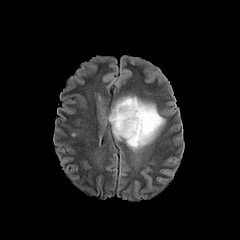
FLAIR MRI.
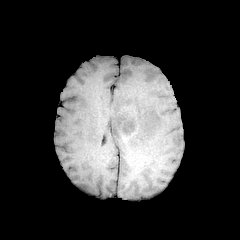
Same slice, T1-weighted MRI.
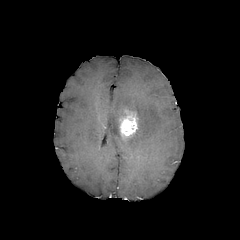
Post-contrast T1-weighted MR.
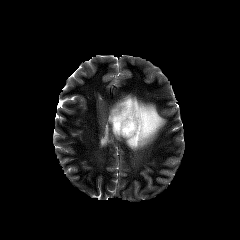
T2-weighted MR image of the same slice.
Image size 240x240 | Axial view | Brain
peritumoral edema: [x1=108, y1=95, x2=165, y2=151] | enhancing tumor: [x1=118, y1=108, x2=138, y2=137]